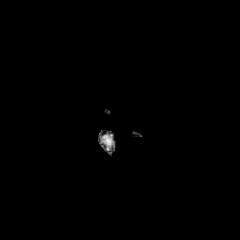
FLAIR MR.
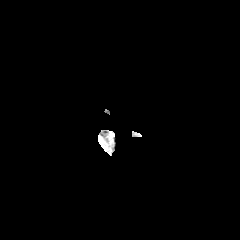
Same slice, T1-weighted MRI.
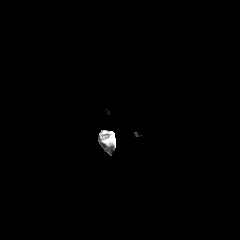
Same slice, post-contrast T1-weighted magnetic resonance.
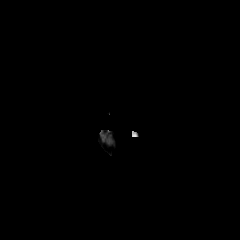
T2-weighted MR.
Axial slice, Brain
<segmentation>
  <enhancing_tumor>rect(102, 136, 110, 144)</enhancing_tumor>
</segmentation>